Slice index 38. Head.
FLAIR MR image.
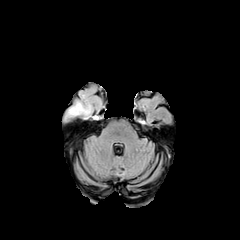
T1-weighted MRI.
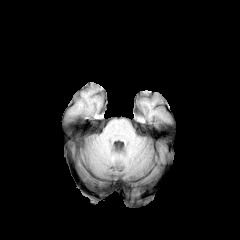
Post-contrast T1-weighted magnetic resonance.
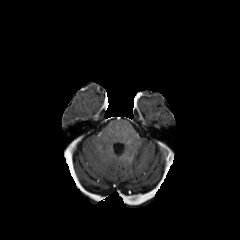
T2-weighted MR image.
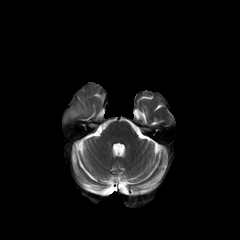
peritumoral_edema:
  - <box>62,84,102,122</box>